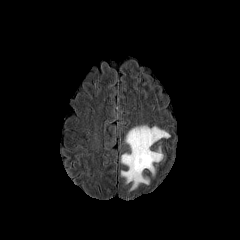
FLAIR MR image.
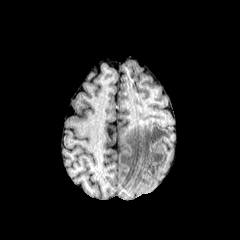
T1-weighted MR.
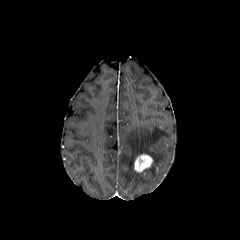
Post-contrast T1-weighted MR image.
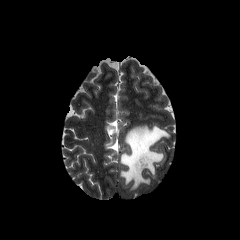
Same slice, T2-weighted magnetic resonance.
Head, 240x240 px
The enhancing tumor lies within (x1=134, y1=154, x2=153, y2=172). 2 peritumoral edema regions are located at (x1=121, y1=125, x2=171, y2=191), (x1=148, y1=164, x2=155, y2=175).